Head. 240x240 px. Axial slice.
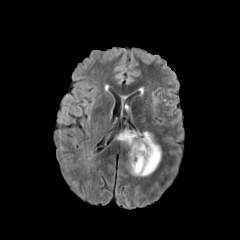
FLAIR MRI.
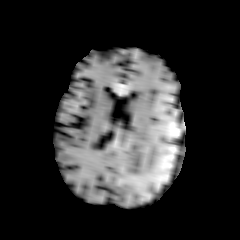
Same slice, T1-weighted MR image.
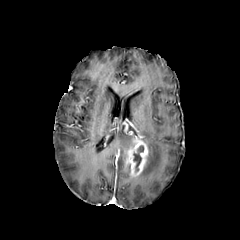
Post-contrast T1-weighted MR of the same slice.
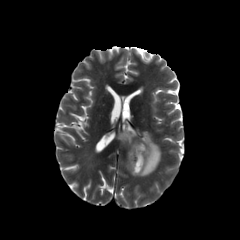
T2-weighted MR image.
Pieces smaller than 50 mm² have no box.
The 2 largest peritumoral edema regions are located at 117, 131, 132, 146; 139, 131, 161, 176. The enhancing tumor lies within 126, 139, 148, 176. The largest necrotic tumor core region is at 134, 153, 141, 171.